FLAIR MR image.
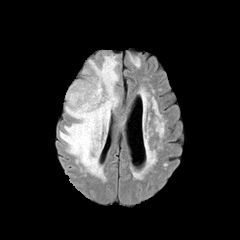
T1-weighted magnetic resonance.
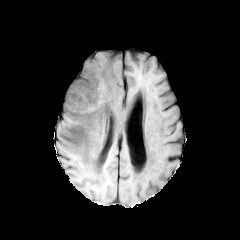
Post-contrast T1-weighted MR.
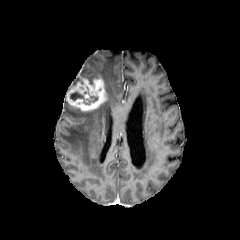
T2-weighted MR image.
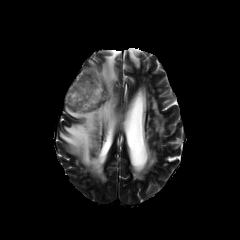
Brain. Image size 240x240.
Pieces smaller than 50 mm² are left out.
<segmentation>
  <necrotic_tumor_core>(70,92,83,100)</necrotic_tumor_core>
  <peritumoral_edema>(59,54,118,176)</peritumoral_edema>
  <enhancing_tumor>(66,75,107,111)</enhancing_tumor>
</segmentation>